Image size 240x240. Slice 50/155.
FLAIR MR image.
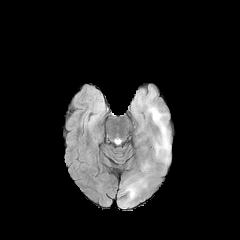
T1-weighted MR image.
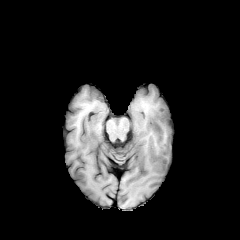
Post-contrast T1-weighted MR.
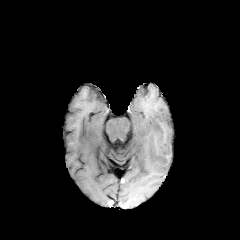
T2-weighted magnetic resonance.
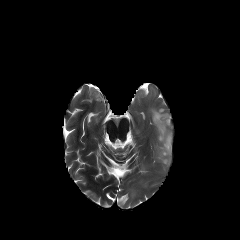
peritumoral edema = l=152, t=110, r=169, b=150